Head
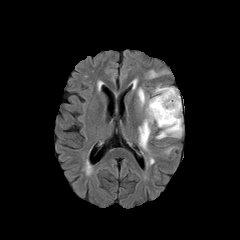
FLAIR MRI.
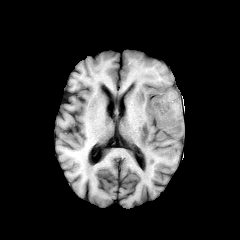
T1-weighted magnetic resonance.
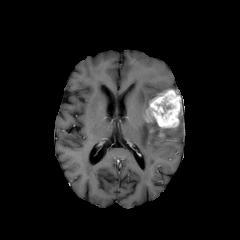
Post-contrast T1-weighted MRI.
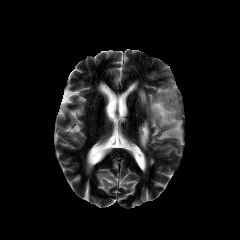
Same slice, T2-weighted MRI.
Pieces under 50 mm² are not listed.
Findings:
* necrotic tumor core: <box>157,96,173,115</box>
* peritumoral edema: <box>138,88,146,105</box>, <box>155,79,176,94</box>, <box>156,115,182,139</box>, <box>139,119,153,149</box>
* enhancing tumor: <box>146,89,181,128</box>